Brain | Axial view
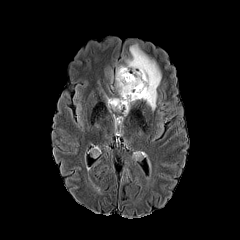
FLAIR magnetic resonance.
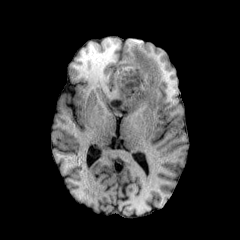
T1-weighted MR image.
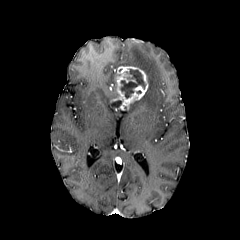
Post-contrast T1-weighted MRI of the same slice.
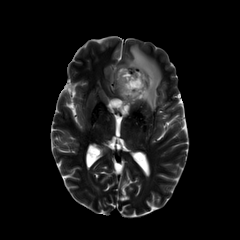
Same slice, T2-weighted MRI.
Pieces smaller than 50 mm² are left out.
peritumoral edema: x1=126, y1=44, x2=161, y2=110
enhancing tumor: x1=110, y1=66, x2=148, y2=110
necrotic tumor core: x1=120, y1=69, x2=145, y2=98; x1=110, y1=100, x2=121, y2=108